Axial view; Image size 240x240
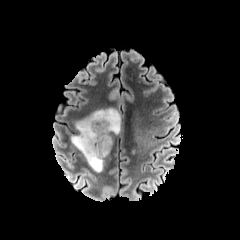
FLAIR MR.
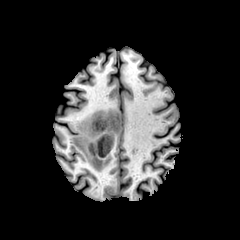
T1-weighted magnetic resonance of the same slice.
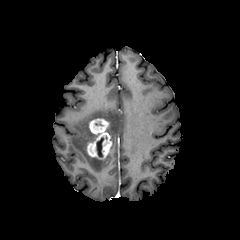
Post-contrast T1-weighted MR image of the same slice.
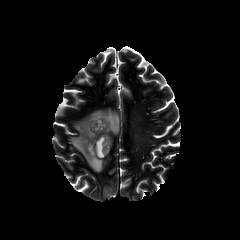
Same slice, T2-weighted MR image.
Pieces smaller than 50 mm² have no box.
peritumoral_edema:
  - 71,108,120,172
enhancing_tumor:
  - 87,118,112,159
necrotic_tumor_core:
  - 96,137,103,157